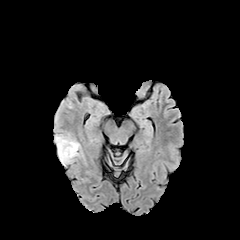
FLAIR magnetic resonance.
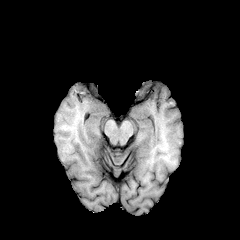
Same slice, T1-weighted MR.
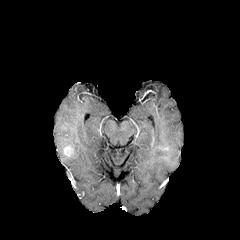
Post-contrast T1-weighted magnetic resonance of the same slice.
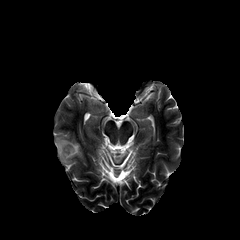
T2-weighted magnetic resonance of the same slice.
240x240 px.
peritumoral edema: 55,134,80,163 | enhancing tumor: 63,146,73,156